Image size 240x240
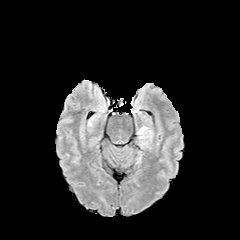
FLAIR MR image.
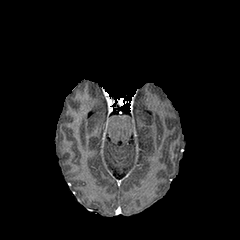
T1-weighted MR image of the same slice.
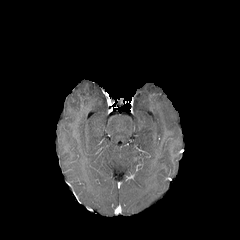
Post-contrast T1-weighted magnetic resonance.
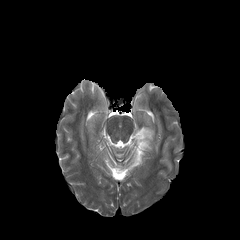
T2-weighted MR.
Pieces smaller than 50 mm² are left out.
Annotated regions:
* peritumoral edema: x1=137, y1=126, x2=153, y2=153